FLAIR MRI.
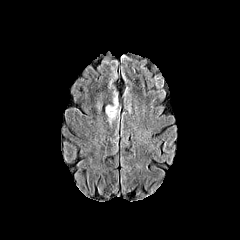
T1-weighted MR image.
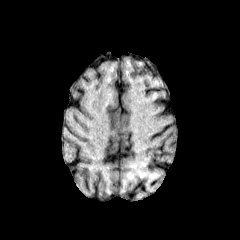
Post-contrast T1-weighted magnetic resonance.
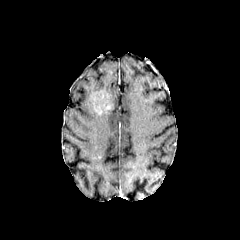
T2-weighted magnetic resonance.
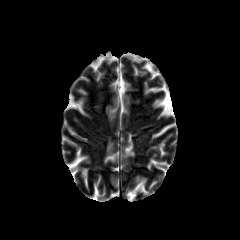
Head, Axial view, 240x240
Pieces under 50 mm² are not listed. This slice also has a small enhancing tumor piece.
peritumoral_edema:
  - bbox(105, 91, 118, 122)